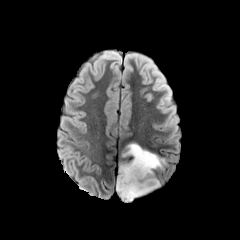
FLAIR magnetic resonance.
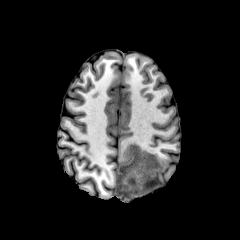
T1-weighted MR image of the same slice.
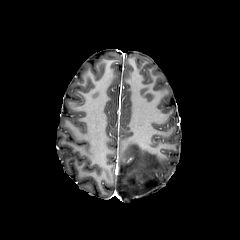
Post-contrast T1-weighted magnetic resonance.
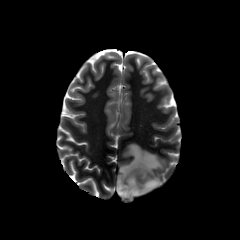
T2-weighted MRI.
Axial slice
peritumoral edema at [116,143,165,200]